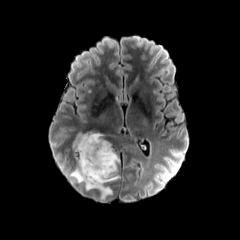
FLAIR magnetic resonance.
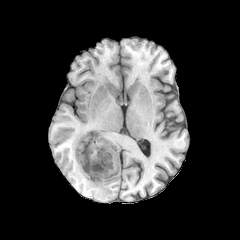
T1-weighted MRI of the same slice.
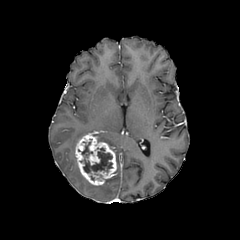
Same slice, post-contrast T1-weighted MRI.
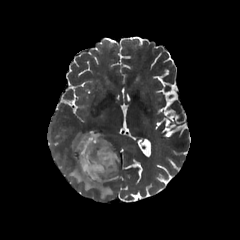
Same slice, T2-weighted MR image.
Head
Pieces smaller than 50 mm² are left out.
Annotated regions:
- necrotic tumor core: (82, 142, 92, 157), (83, 148, 112, 173)
- peritumoral edema: (70, 164, 112, 198), (95, 133, 110, 146), (72, 132, 87, 155)
- enhancing tumor: (75, 132, 117, 185)